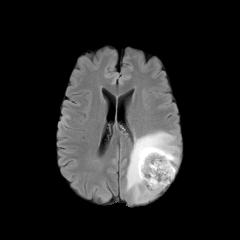
FLAIR MRI.
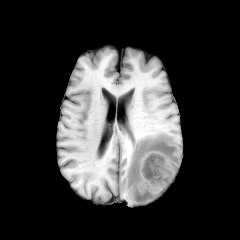
T1-weighted MRI.
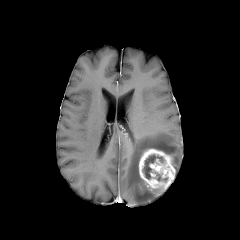
Post-contrast T1-weighted MR image of the same slice.
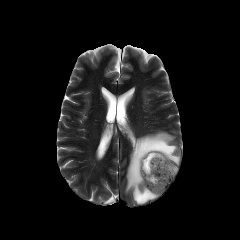
T2-weighted MR image.
Head
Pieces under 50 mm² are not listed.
The largest necrotic tumor core region is at [143,155,163,179]. The enhancing tumor is located at [139,148,175,190]. The peritumoral edema is at [126,131,179,204].